Head | Axial plane | Slice 130/155
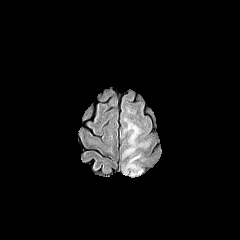
FLAIR MR image.
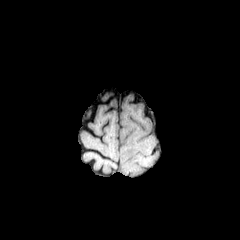
T1-weighted MR of the same slice.
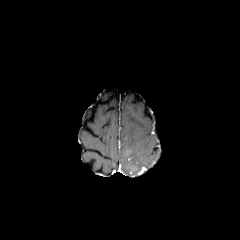
Post-contrast T1-weighted MR.
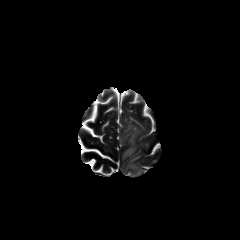
T2-weighted MRI.
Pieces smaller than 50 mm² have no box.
enhancing tumor: bounding box rect(125, 164, 138, 171)
peritumoral edema: bounding box rect(125, 106, 136, 114); rect(126, 153, 142, 166); rect(130, 164, 142, 177); rect(120, 115, 151, 152)